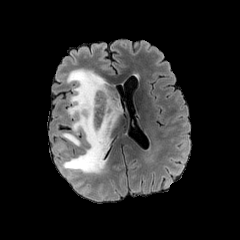
FLAIR MR.
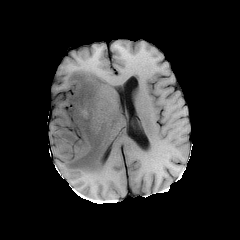
T1-weighted magnetic resonance.
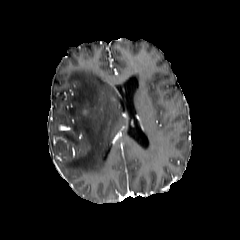
Same slice, post-contrast T1-weighted magnetic resonance.
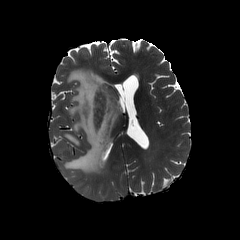
T2-weighted MR image.
Brain
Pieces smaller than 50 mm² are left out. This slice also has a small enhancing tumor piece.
<segmentation>
  <peritumoral_edema>x1=62 y1=69 x2=122 y2=176, x1=63 y1=133 x2=82 y2=146</peritumoral_edema>
</segmentation>